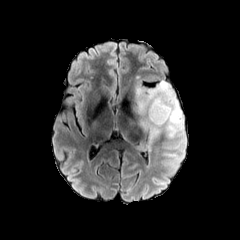
FLAIR MRI.
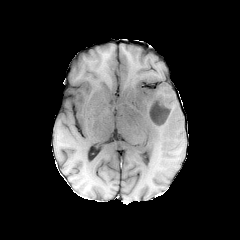
T1-weighted MR image.
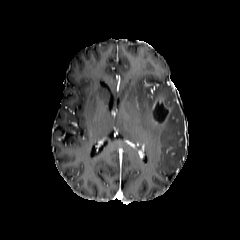
Post-contrast T1-weighted MR.
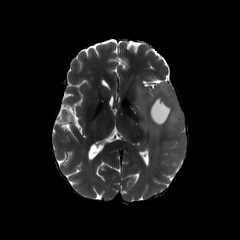
Same slice, T2-weighted MR.
Axial plane
enhancing tumor — <box>150,99,170,124</box>
peritumoral edema — <box>130,81,183,152</box>
necrotic tumor core — <box>152,102,168,123</box>